Head; Image covers 240 mm x 240 mm
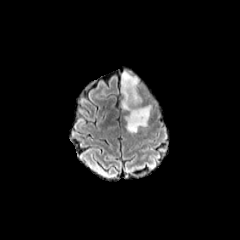
FLAIR MR image.
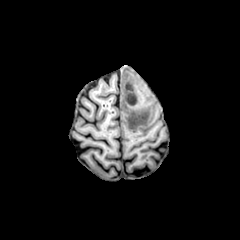
Same slice, T1-weighted magnetic resonance.
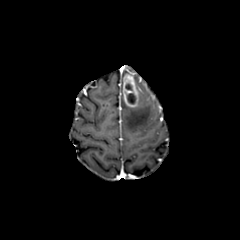
Same slice, post-contrast T1-weighted MR.
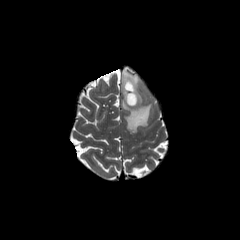
T2-weighted MR of the same slice.
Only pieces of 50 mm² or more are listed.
<segmentation>
  <peritumoral_edema>bbox(121, 99, 151, 133)</peritumoral_edema>
  <necrotic_tumor_core>bbox(127, 93, 135, 103)</necrotic_tumor_core>
  <enhancing_tumor>bbox(123, 72, 139, 107)</enhancing_tumor>
</segmentation>